Image width 240 mm, Axial slice, Brain
FLAIR MR.
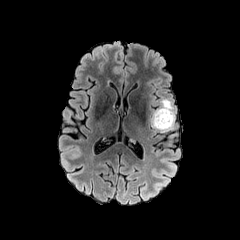
T1-weighted MR image.
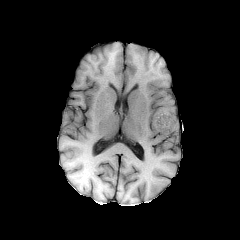
Post-contrast T1-weighted MR image.
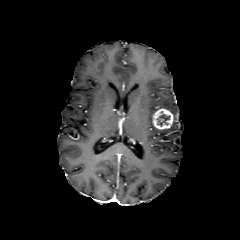
T2-weighted MR.
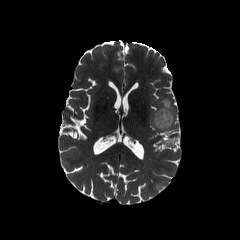
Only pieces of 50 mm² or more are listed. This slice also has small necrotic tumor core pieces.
peritumoral edema at (151, 99, 175, 132)
enhancing tumor at (152, 108, 173, 129)